Brain | 240x240 px | Slice 54/155 | Axial slice
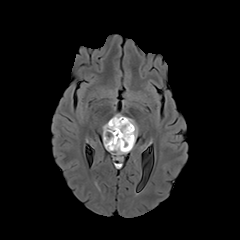
FLAIR MR image.
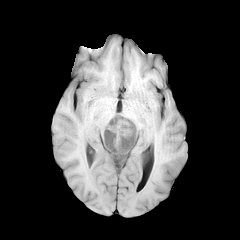
T1-weighted MRI.
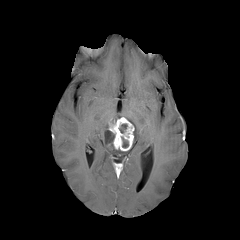
Same slice, post-contrast T1-weighted MRI.
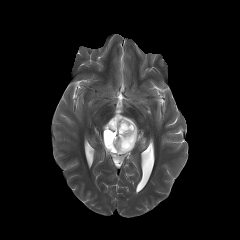
T2-weighted MRI.
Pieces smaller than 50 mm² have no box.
peritumoral edema: box(104, 114, 138, 161) | necrotic tumor core: box(105, 129, 115, 149); box(119, 124, 127, 133); box(121, 137, 128, 147) | enhancing tumor: box(108, 117, 134, 151)